FLAIR MR.
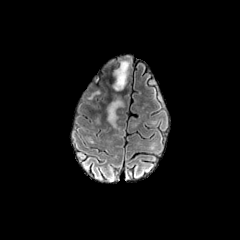
T1-weighted magnetic resonance.
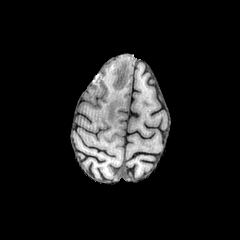
Post-contrast T1-weighted MRI.
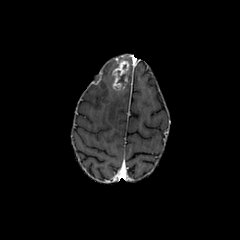
T2-weighted MRI.
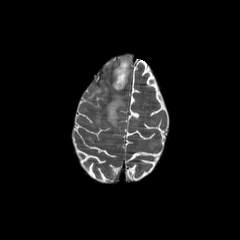
Brain; Axial view
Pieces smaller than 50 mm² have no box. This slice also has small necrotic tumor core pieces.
{
  "peritumoral_edema": [
    "107, 98, 123, 128"
  ],
  "enhancing_tumor": [
    "112, 59, 129, 90"
  ]
}